Image size 240x240
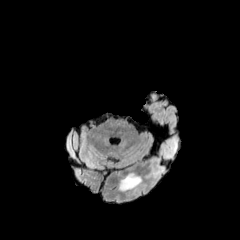
FLAIR MRI.
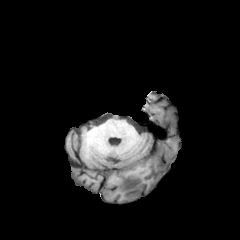
T1-weighted magnetic resonance.
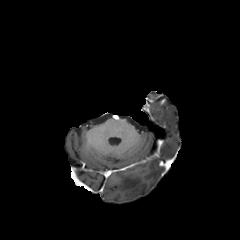
Post-contrast T1-weighted MR image of the same slice.
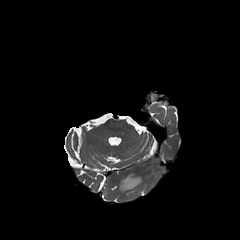
T2-weighted magnetic resonance.
The peritumoral edema appears at <bbox>119, 173, 141, 191</bbox>.